Head
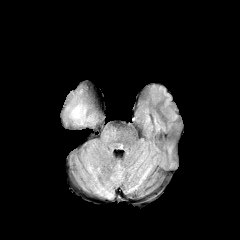
FLAIR MR.
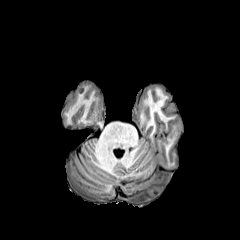
T1-weighted MR image.
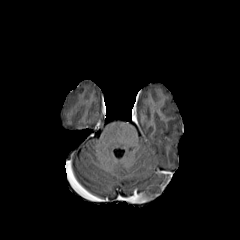
Post-contrast T1-weighted magnetic resonance of the same slice.
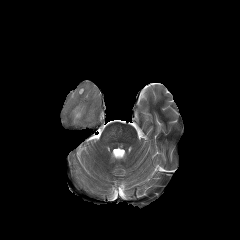
T2-weighted MR of the same slice.
<segmentation>
  <peritumoral_edema>x1=71, y1=104, x2=85, y2=120</peritumoral_edema>
</segmentation>